Head. Slice 88/155. Image size 240x240.
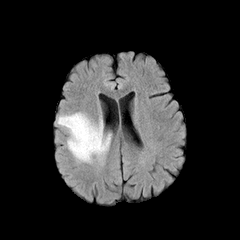
FLAIR MR image.
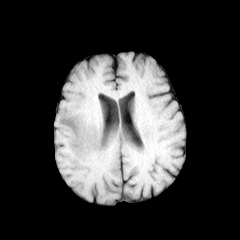
T1-weighted MRI of the same slice.
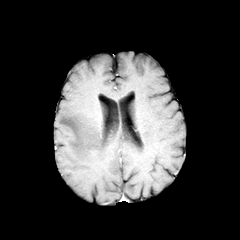
Post-contrast T1-weighted MR image of the same slice.
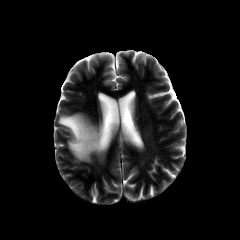
T2-weighted MR of the same slice.
peritumoral_edema:
  - (57,113,111,162)